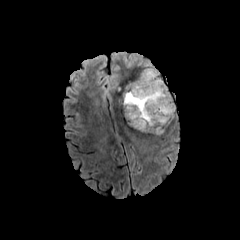
FLAIR MR image.
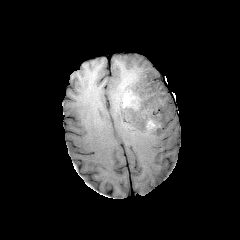
T1-weighted MR image.
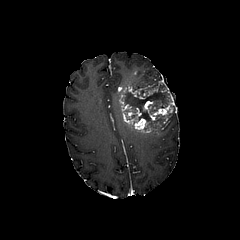
Post-contrast T1-weighted magnetic resonance of the same slice.
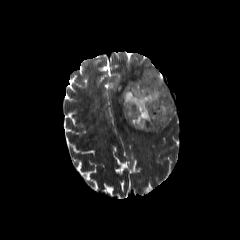
T2-weighted magnetic resonance.
Image size 240x240
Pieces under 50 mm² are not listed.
enhancing tumor: 144:80:175:123, 119:75:164:134 | necrotic tumor core: 124:76:170:126 | peritumoral edema: 140:68:158:79